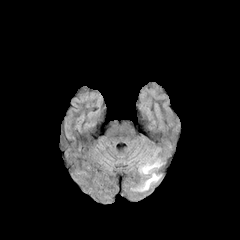
FLAIR MR image.
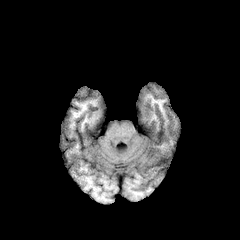
T1-weighted MR.
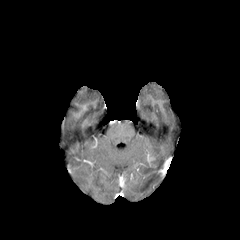
Post-contrast T1-weighted magnetic resonance.
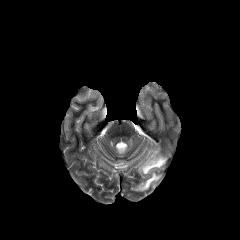
T2-weighted MR.
Head, Axial slice
The enhancing tumor appears at rect(147, 152, 160, 166). The peritumoral edema lies within rect(131, 148, 166, 191).